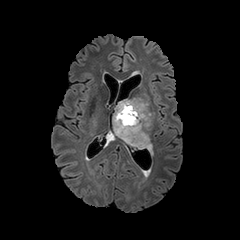
FLAIR MR.
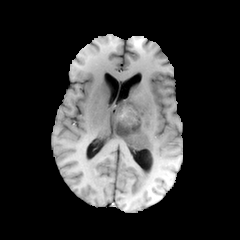
Same slice, T1-weighted MRI.
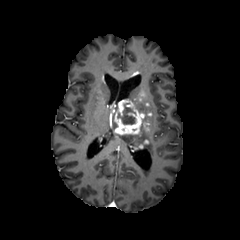
Post-contrast T1-weighted magnetic resonance.
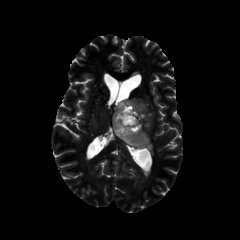
T2-weighted MR.
Head, 240x240 px
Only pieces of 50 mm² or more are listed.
necrotic tumor core = region(117, 103, 136, 123)
enhancing tumor = region(114, 99, 144, 135)
peritumoral edema = region(112, 106, 117, 130); region(116, 97, 153, 155)